FLAIR MR.
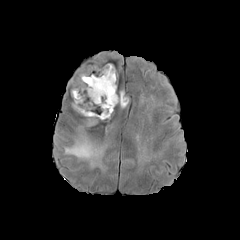
T1-weighted MR image.
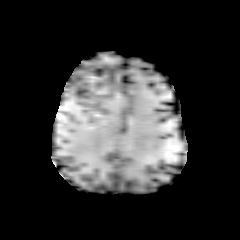
Post-contrast T1-weighted MRI.
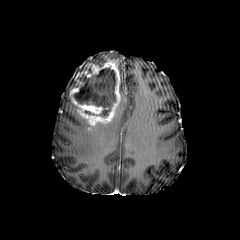
T2-weighted MRI.
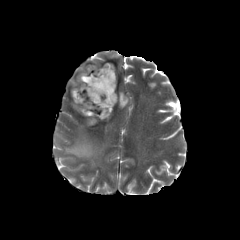
Head.
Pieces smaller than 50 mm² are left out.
enhancing_tumor:
  - 70 62 120 125
necrotic_tumor_core:
  - 73 67 116 116
peritumoral_edema:
  - 119 91 129 108
  - 63 133 103 166